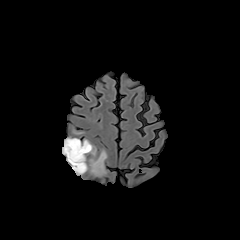
FLAIR MR.
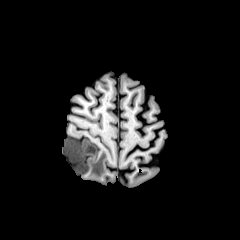
Same slice, T1-weighted magnetic resonance.
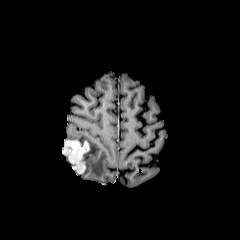
Post-contrast T1-weighted MR image of the same slice.
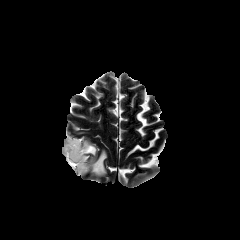
T2-weighted magnetic resonance of the same slice.
Head. Axial plane.
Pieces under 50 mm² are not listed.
The enhancing tumor appears at <bbox>62, 140, 89, 173</bbox>. The largest peritumoral edema region lies within <bbox>64, 137, 107, 176</bbox>.